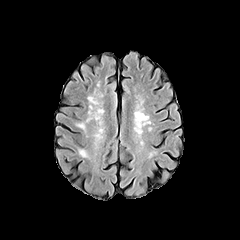
FLAIR MR image.
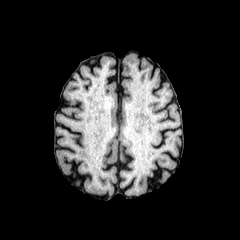
T1-weighted MR.
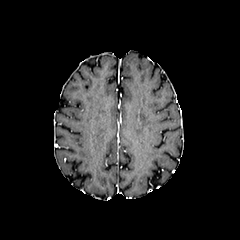
Post-contrast T1-weighted magnetic resonance.
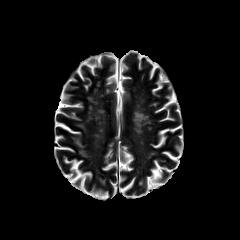
T2-weighted magnetic resonance.
Head, Image size 240x240
peritumoral edema: bounding box 76:122:85:130